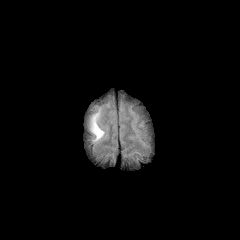
FLAIR MRI.
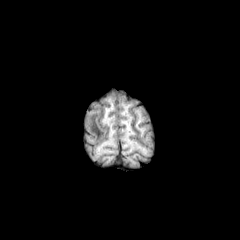
T1-weighted magnetic resonance.
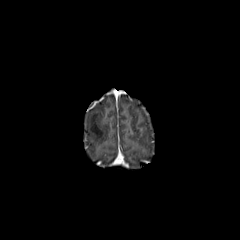
Post-contrast T1-weighted MR image of the same slice.
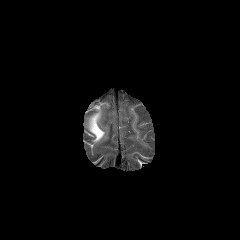
T2-weighted MR of the same slice.
Axial plane; Brain; 240x240 px
<segmentation>
  <peritumoral_edema>box=[90, 111, 104, 141]</peritumoral_edema>
</segmentation>